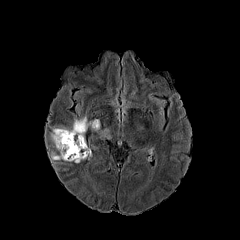
FLAIR MR.
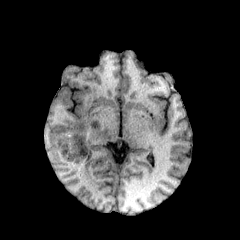
T1-weighted MR image of the same slice.
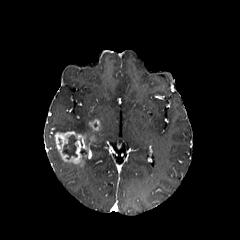
Same slice, post-contrast T1-weighted MR.
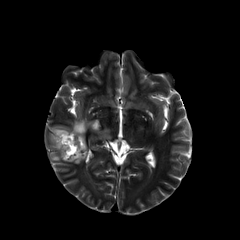
T2-weighted magnetic resonance.
Axial slice
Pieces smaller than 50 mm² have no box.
The 2 largest enhancing tumor regions are located at box=[88, 119, 100, 131]; box=[54, 131, 87, 166]. 3 peritumoral edema regions are bounded by box=[50, 152, 61, 161]; box=[55, 116, 88, 134]; box=[97, 129, 111, 138]. The largest necrotic tumor core region is at box=[62, 135, 77, 159].